Head, Slice 78/155, 240x240
FLAIR MR.
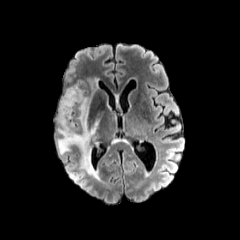
T1-weighted MRI.
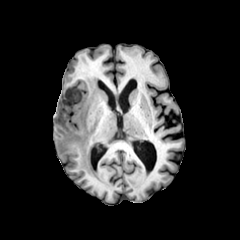
Post-contrast T1-weighted MR image.
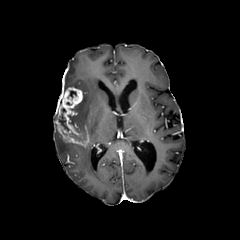
T2-weighted MR image.
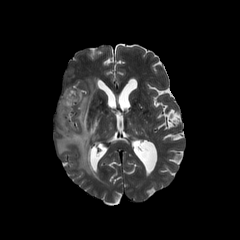
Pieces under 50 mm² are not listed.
necrotic tumor core at (58,113,69,131)
enhancing tumor at (55,87,89,147)
peritumoral edema at (77,96,90,130), (91,80,97,91), (57,138,98,179), (88,120,98,138)